240x240 | Brain
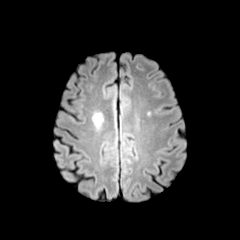
FLAIR MR.
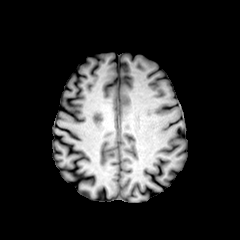
Same slice, T1-weighted MRI.
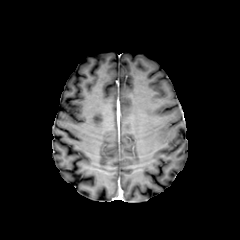
Post-contrast T1-weighted MR.
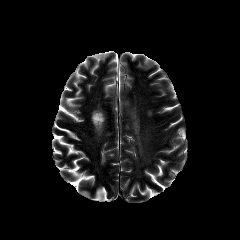
T2-weighted MR.
<segmentation>
  <peritumoral_edema>box(93, 112, 102, 125)</peritumoral_edema>
</segmentation>